Slice 91/155. Image size 240x240.
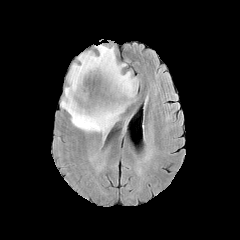
FLAIR MRI.
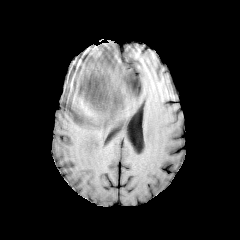
T1-weighted MR image.
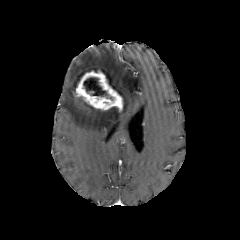
Post-contrast T1-weighted MR image.
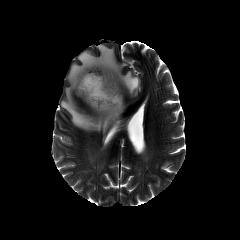
Same slice, T2-weighted MRI.
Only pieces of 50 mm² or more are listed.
The necrotic tumor core lies within {"x1": 83, "y1": 78, "x2": 105, "y2": 95}. The enhancing tumor is at {"x1": 75, "y1": 70, "x2": 123, "y2": 111}. The largest peritumoral edema region is located at {"x1": 61, "y1": 44, "x2": 139, "y2": 135}.